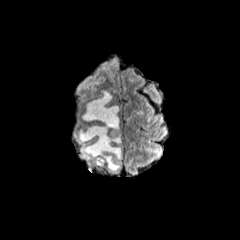
FLAIR MRI.
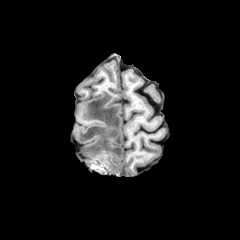
T1-weighted MR image.
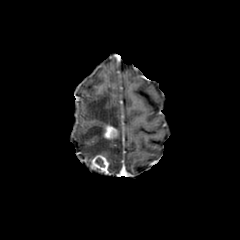
Post-contrast T1-weighted magnetic resonance of the same slice.
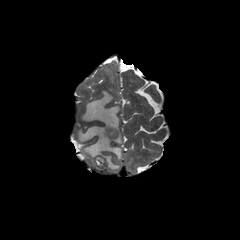
T2-weighted MRI.
240x240 px
necrotic tumor core: (left=95, top=157, right=104, bottom=167) | enhancing tumor: (left=91, top=154, right=109, bottom=170), (left=103, top=124, right=118, bottom=139) | peritumoral edema: (left=76, top=91, right=122, bottom=172)